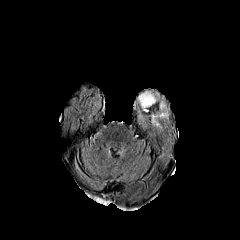
FLAIR MRI.
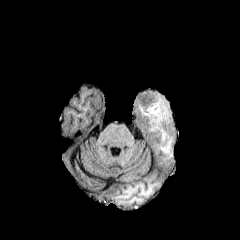
Same slice, T1-weighted MR image.
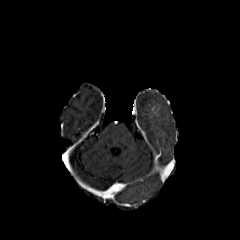
Post-contrast T1-weighted MR.
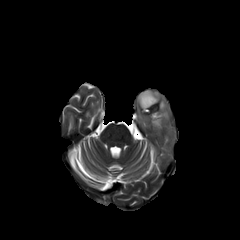
T2-weighted MR of the same slice.
Axial plane
peritumoral edema: left=138, top=91, right=159, bottom=111; left=151, top=101, right=168, bottom=127